Axial view; Image width 240 mm, 1.00 mm slice spacing; 240x240
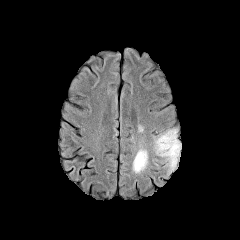
FLAIR MRI.
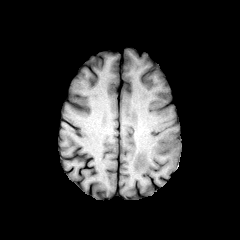
T1-weighted MR of the same slice.
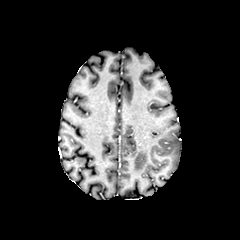
Post-contrast T1-weighted MRI.
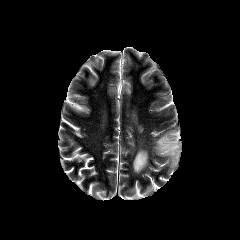
T2-weighted MR image.
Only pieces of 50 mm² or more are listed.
peritumoral edema: bbox(132, 148, 148, 173); bbox(154, 128, 181, 175)